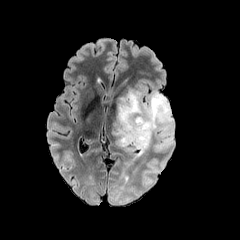
FLAIR MRI.
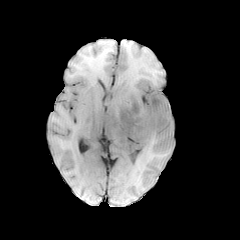
Same slice, T1-weighted MRI.
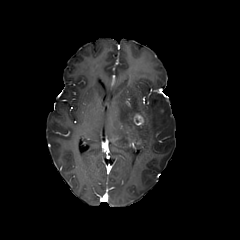
Same slice, post-contrast T1-weighted MR.
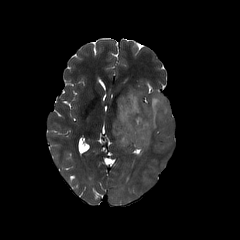
T2-weighted MR.
240x240 px
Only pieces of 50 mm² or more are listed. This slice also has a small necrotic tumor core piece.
peritumoral edema: [x1=113, y1=91, x2=173, y2=156] | enhancing tumor: [x1=130, y1=138, x2=139, y2=148], [x1=133, y1=114, x2=144, y2=125]